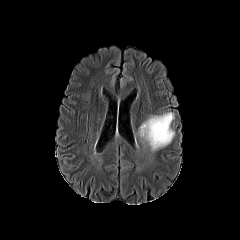
FLAIR MR.
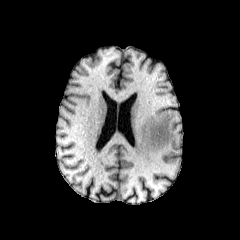
Same slice, T1-weighted MR image.
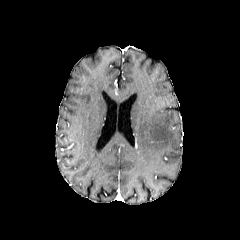
Post-contrast T1-weighted magnetic resonance of the same slice.
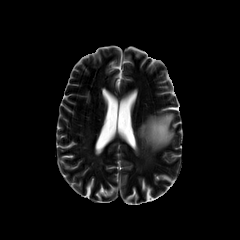
T2-weighted MRI of the same slice.
Head
<segmentation>
  <peritumoral_edema>138,112,174,151</peritumoral_edema>
</segmentation>